Brain | Slice 105 of 155
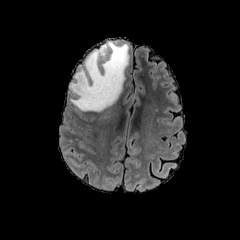
FLAIR magnetic resonance.
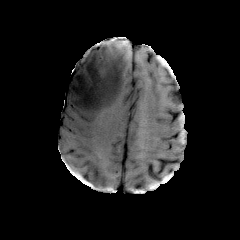
T1-weighted MR.
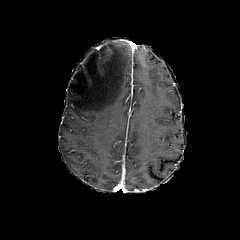
Post-contrast T1-weighted MR image.
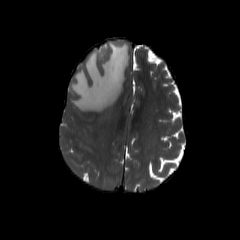
Same slice, T2-weighted MR image.
The peritumoral edema lies within (70,41,129,111).